Axial plane; Image width 240 mm, 1.00 mm slice spacing; Brain; Slice 103/155
FLAIR MR.
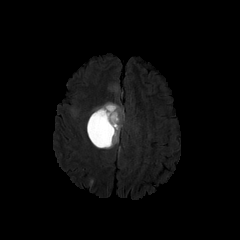
T1-weighted MRI.
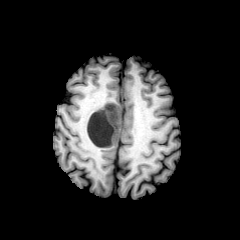
Post-contrast T1-weighted magnetic resonance.
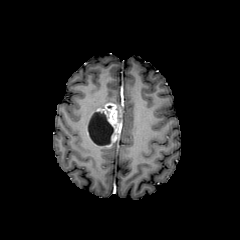
T2-weighted magnetic resonance.
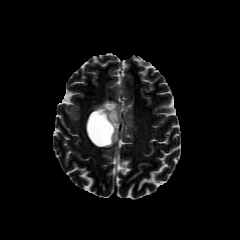
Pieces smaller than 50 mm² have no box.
peritumoral_edema:
  - bbox=[109, 85, 118, 91]
  - bbox=[92, 101, 117, 112]
necrotic_tumor_core:
  - bbox=[88, 112, 113, 145]
enhancing_tumor:
  - bbox=[87, 103, 122, 147]